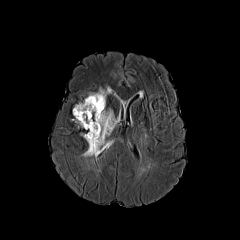
FLAIR MR image.
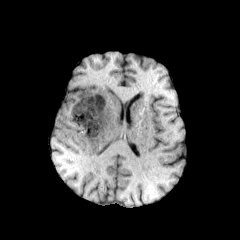
T1-weighted magnetic resonance.
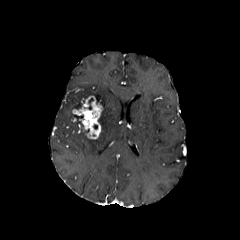
Same slice, post-contrast T1-weighted MR.
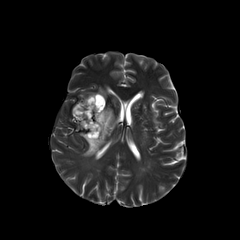
T2-weighted MRI of the same slice.
Image size 240x240
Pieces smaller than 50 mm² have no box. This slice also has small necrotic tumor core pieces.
enhancing tumor: bounding box (x1=72, y1=96, x2=103, y2=139)
peritumoral edema: bounding box (x1=81, y1=87, x2=118, y2=156), (x1=74, y1=115, x2=83, y2=127)